Axial view, 240x240 px
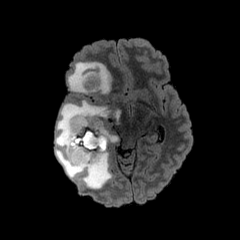
FLAIR magnetic resonance.
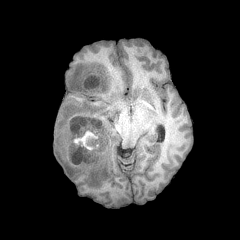
T1-weighted magnetic resonance of the same slice.
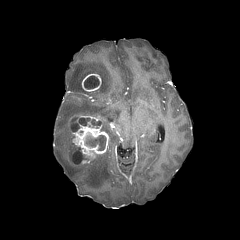
Same slice, post-contrast T1-weighted MR image.
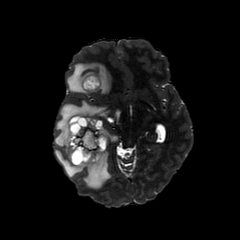
Same slice, T2-weighted MR.
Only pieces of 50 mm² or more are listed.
enhancing tumor: region(81, 73, 101, 91); region(68, 115, 109, 164)
necrotic tumor core: region(84, 76, 99, 89); region(72, 147, 88, 163); region(84, 133, 105, 150); region(70, 117, 99, 131)
peritumoral edema: region(67, 62, 111, 94); region(55, 100, 111, 189); region(102, 126, 117, 142)